240x240, Axial plane
FLAIR magnetic resonance.
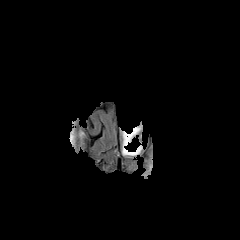
T1-weighted MRI.
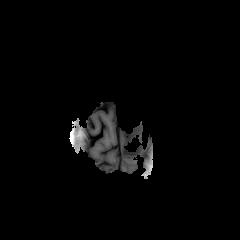
Post-contrast T1-weighted magnetic resonance.
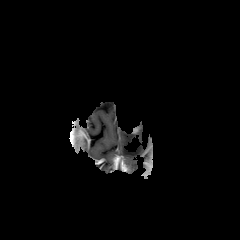
T2-weighted magnetic resonance.
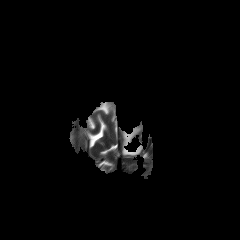
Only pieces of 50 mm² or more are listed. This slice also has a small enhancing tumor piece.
The peritumoral edema lies within bbox(121, 124, 142, 156).